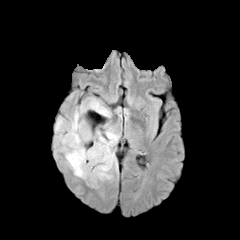
FLAIR magnetic resonance.
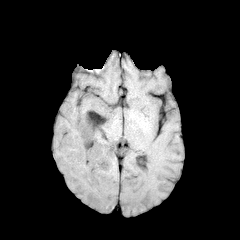
Same slice, T1-weighted MR image.
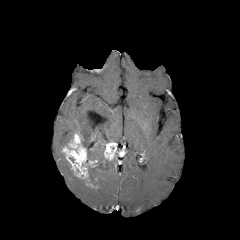
Post-contrast T1-weighted MRI of the same slice.
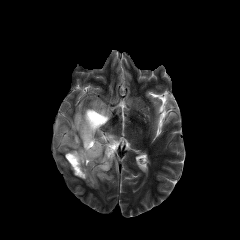
T2-weighted MRI of the same slice.
Axial view.
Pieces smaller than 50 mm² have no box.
The largest peritumoral edema region is located at x1=55 y1=98 x2=120 y2=187. The largest necrotic tumor core region lies within x1=87 y1=167 x2=92 y2=183. The 2 largest enhancing tumor regions appear at x1=101 y1=140 x2=117 y2=165, x1=61 y1=132 x2=97 y2=181.